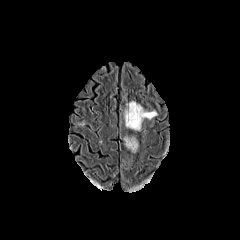
FLAIR MRI.
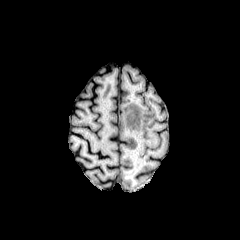
T1-weighted magnetic resonance of the same slice.
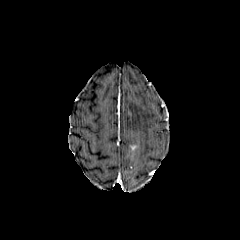
Post-contrast T1-weighted MRI.
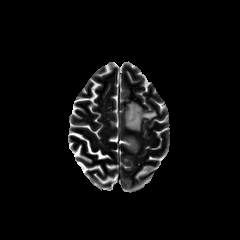
Same slice, T2-weighted MRI.
Brain. Axial slice.
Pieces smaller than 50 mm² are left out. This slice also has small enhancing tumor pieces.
peritumoral_edema:
  - rect(124, 137, 137, 148)
  - rect(124, 101, 156, 130)